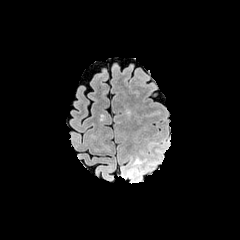
FLAIR magnetic resonance.
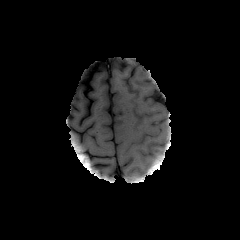
T1-weighted MR.
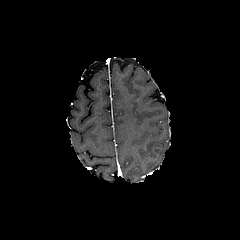
Post-contrast T1-weighted MR image.
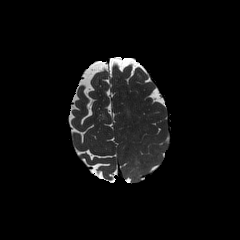
T2-weighted MR image.
Axial plane. Brain. 240x240 px.
<segmentation>
  <peritumoral_edema><box>124,157,150,181</box></peritumoral_edema>
</segmentation>